Slice 42 of 155; Axial view; Head; 240x240
FLAIR MRI.
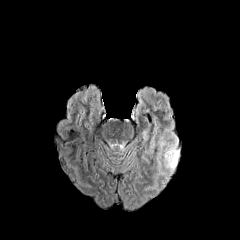
T1-weighted MR image.
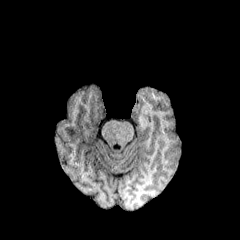
Post-contrast T1-weighted MR.
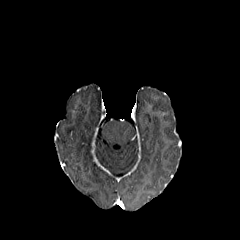
T2-weighted MRI.
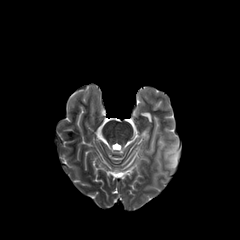
peritumoral edema: (159,137,179,171)